Slice 119/155 | Head
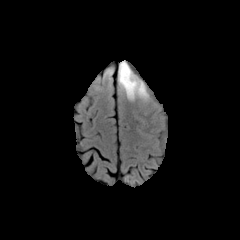
FLAIR MR.
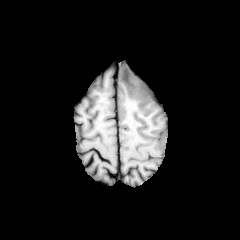
Same slice, T1-weighted MRI.
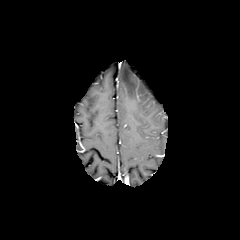
Post-contrast T1-weighted magnetic resonance.
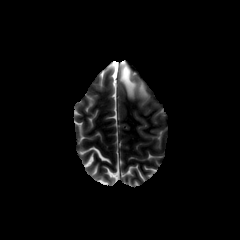
T2-weighted MR.
peritumoral edema: [x1=119, y1=61, x2=148, y2=100]